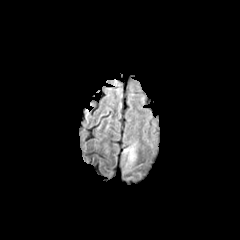
FLAIR magnetic resonance.
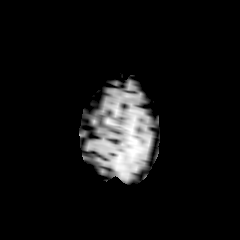
T1-weighted MRI of the same slice.
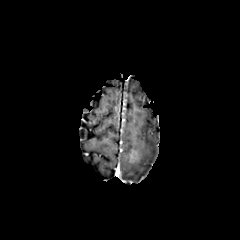
Post-contrast T1-weighted MR image of the same slice.
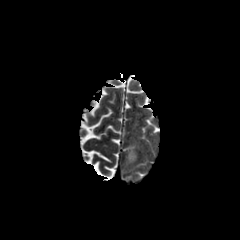
T2-weighted MRI.
Image size 240x240; Brain; Axial view
The enhancing tumor lies within region(129, 149, 133, 161). The peritumoral edema appears at region(123, 143, 137, 168).